FLAIR MR image.
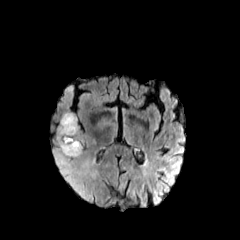
T1-weighted MR image.
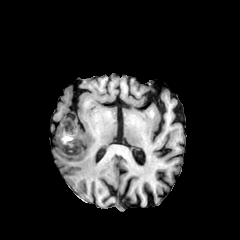
Post-contrast T1-weighted MR image.
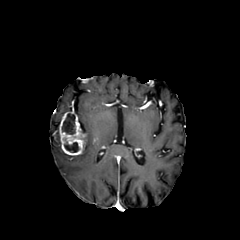
T2-weighted MRI.
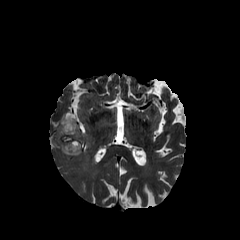
Axial view.
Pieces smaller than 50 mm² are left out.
peritumoral edema: bounding box rect(51, 126, 97, 202); rect(98, 118, 108, 128)
necrotic tumor core: bounding box rect(64, 142, 78, 152); rect(62, 113, 75, 134)
enhancing tumor: bounding box rect(58, 111, 86, 155)